FLAIR MR image.
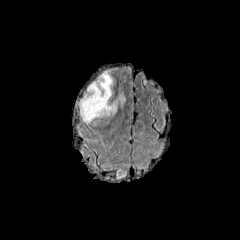
T1-weighted MR.
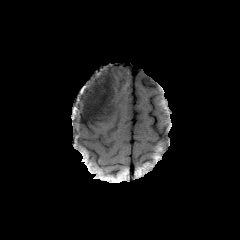
Post-contrast T1-weighted magnetic resonance.
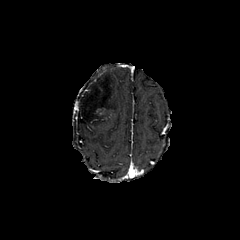
T2-weighted MRI.
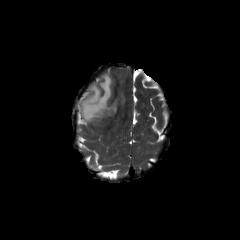
Head.
The enhancing tumor appears at <bbox>96, 108, 114, 119</bbox>. The peritumoral edema is bounded by <bbox>79, 71, 125, 125</bbox>.